FLAIR MRI.
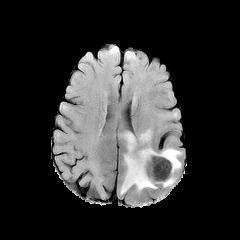
T1-weighted MR image.
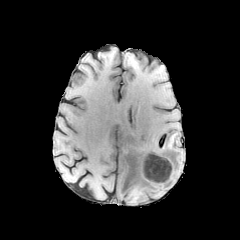
Post-contrast T1-weighted magnetic resonance.
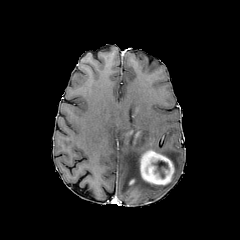
T2-weighted MRI.
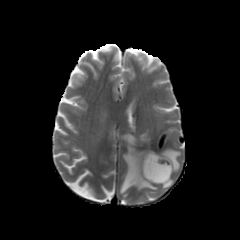
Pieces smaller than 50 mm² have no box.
Findings:
* peritumoral edema: [x1=139, y1=130, x2=151, y2=142], [x1=120, y1=132, x2=157, y2=194], [x1=158, y1=148, x2=181, y2=172], [x1=162, y1=174, x2=175, y2=187]
* enhancing tumor: [x1=140, y1=150, x2=174, y2=184]
* necrotic tumor core: [x1=153, y1=161, x2=168, y2=178]